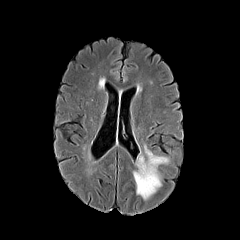
FLAIR MRI.
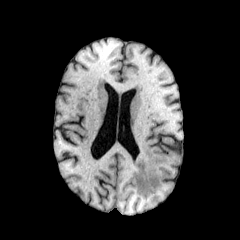
T1-weighted MRI.
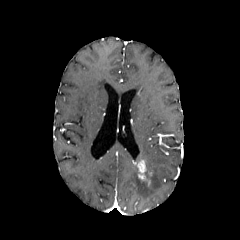
Same slice, post-contrast T1-weighted MR.
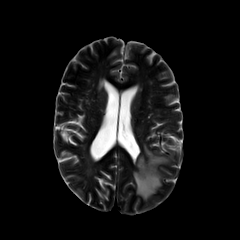
T2-weighted MR of the same slice.
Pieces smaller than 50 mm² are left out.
Annotated regions:
* peritumoral edema: left=133, top=144, right=168, bottom=199
* enhancing tumor: left=135, top=159, right=150, bottom=185